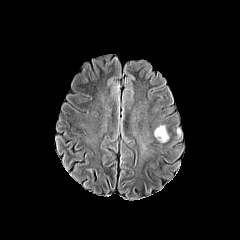
FLAIR MR image.
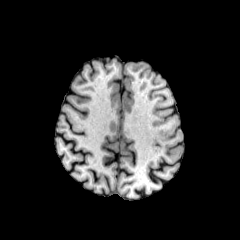
T1-weighted MRI.
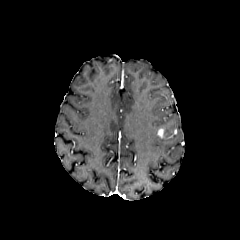
Post-contrast T1-weighted MR.
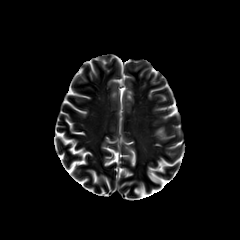
T2-weighted MRI.
Axial view, Brain
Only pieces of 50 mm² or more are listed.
<segmentation>
  <enhancing_tumor>bbox(157, 128, 165, 138)</enhancing_tumor>
  <peritumoral_edema>bbox(154, 125, 168, 142)</peritumoral_edema>
</segmentation>